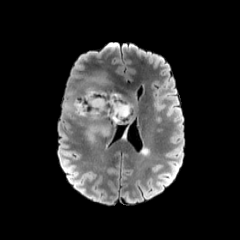
FLAIR MR image.
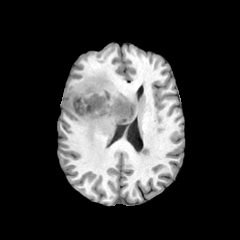
T1-weighted MRI of the same slice.
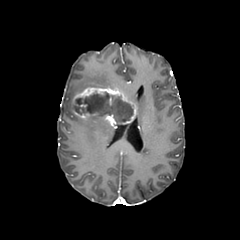
Post-contrast T1-weighted MR image of the same slice.
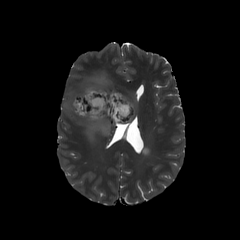
T2-weighted MRI.
Head
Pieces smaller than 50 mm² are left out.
enhancing tumor: (x1=71, y1=87, x2=137, y2=125) | peritumoral edema: (x1=85, y1=123, x2=110, y2=140), (x1=93, y1=73, x2=112, y2=87) | necrotic tumor core: (x1=74, y1=92, x2=133, y2=121)